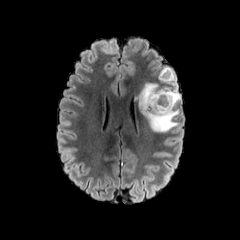
FLAIR MRI.
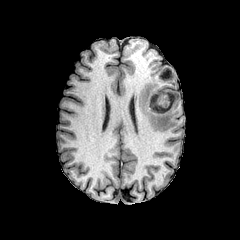
T1-weighted MRI.
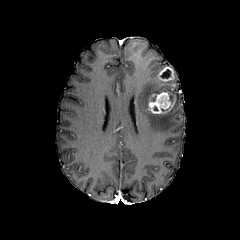
Post-contrast T1-weighted MR image.
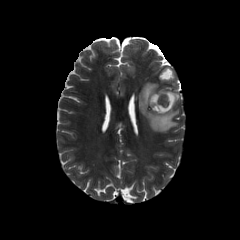
Same slice, T2-weighted MR.
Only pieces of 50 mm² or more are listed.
- necrotic tumor core: 161,69,171,78
- peritumoral edema: 137,70,180,132
- enhancing tumor: 158,66,173,81; 145,90,175,115